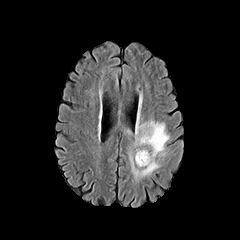
FLAIR magnetic resonance.
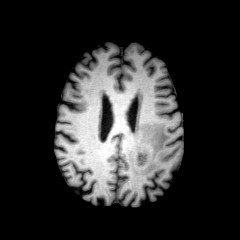
T1-weighted MR image of the same slice.
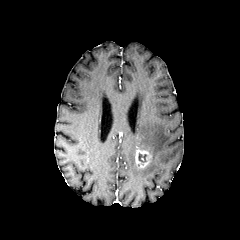
Post-contrast T1-weighted MR image.
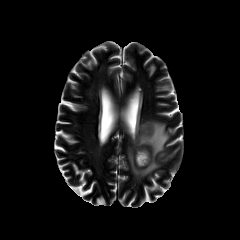
T2-weighted MR of the same slice.
240x240
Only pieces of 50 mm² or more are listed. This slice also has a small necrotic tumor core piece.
{"peritumoral_edema": ["bbox(126, 119, 170, 180)"], "enhancing_tumor": ["bbox(135, 149, 151, 168)"]}